FLAIR MR image.
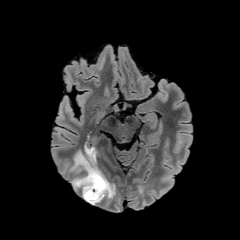
T1-weighted MRI.
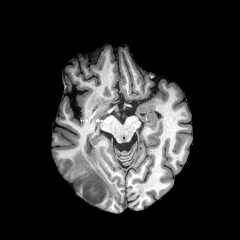
Post-contrast T1-weighted MR image.
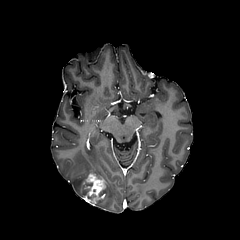
T2-weighted magnetic resonance.
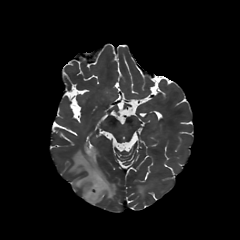
Brain, Axial view
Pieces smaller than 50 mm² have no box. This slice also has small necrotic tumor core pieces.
peritumoral edema: bounding box x1=69, y1=146, x2=116, y2=205
enhancing tumor: bounding box x1=83, y1=172, x2=105, y2=205